FLAIR MR.
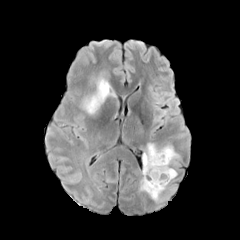
T1-weighted MRI.
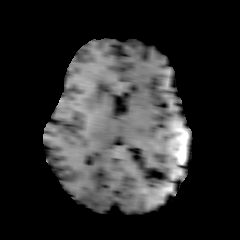
Post-contrast T1-weighted MR image.
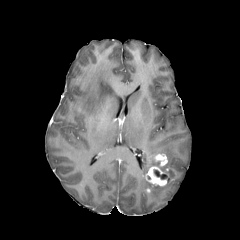
T2-weighted MR image.
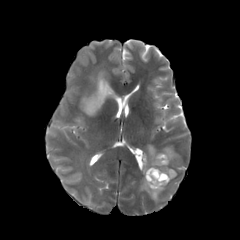
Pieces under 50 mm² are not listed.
enhancing tumor = <box>145,166,168,186</box>, <box>154,154,167,166</box>
peritumoral edema = <box>81,72,115,115</box>, <box>140,143,180,201</box>
necrotic tumor core = <box>154,170,167,179</box>